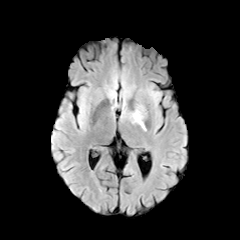
FLAIR MRI.
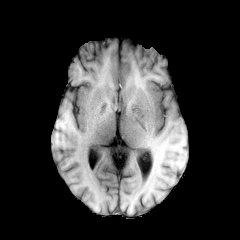
Same slice, T1-weighted MR.
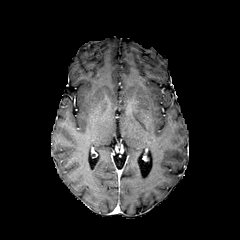
Same slice, post-contrast T1-weighted MR image.
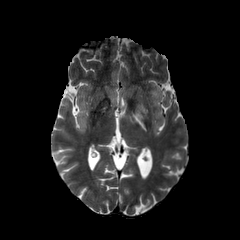
T2-weighted MRI.
Axial plane. Brain.
Segmented structures:
- peritumoral edema: x1=151, y1=92, x2=160, y2=101; x1=122, y1=99, x2=145, y2=130